FLAIR MR image.
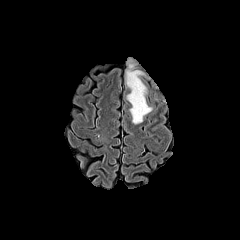
T1-weighted magnetic resonance.
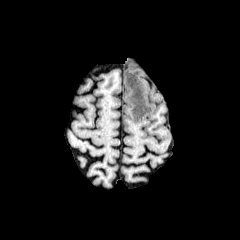
Post-contrast T1-weighted MRI.
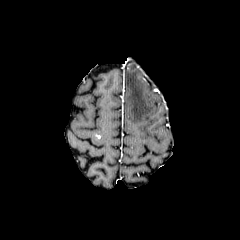
T2-weighted MR image.
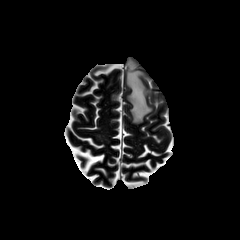
Brain. Axial slice.
The peritumoral edema appears at (x1=126, y1=63, x2=152, y2=123).